FLAIR MR image.
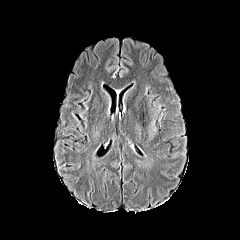
T1-weighted MR.
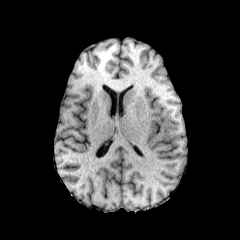
Post-contrast T1-weighted MRI.
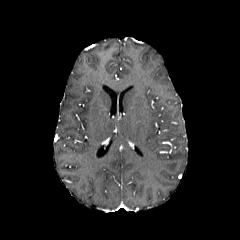
T2-weighted magnetic resonance.
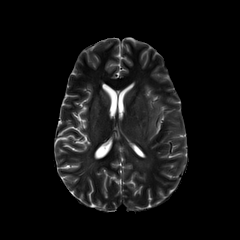
Brain
The peritumoral edema lies within left=149, top=103, right=159, bottom=140.